Image covers 240 mm x 240 mm, Brain, Axial slice, Slice index 30
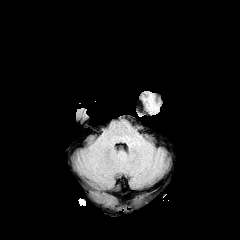
FLAIR MR.
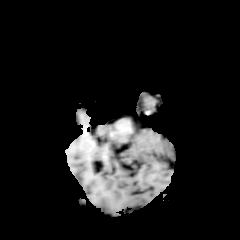
T1-weighted MR of the same slice.
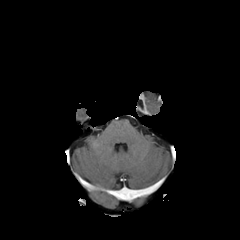
Post-contrast T1-weighted magnetic resonance of the same slice.
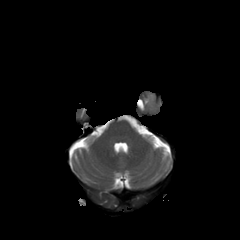
T2-weighted MR of the same slice.
peritumoral_edema:
  - left=144, top=93, right=155, bottom=110